FLAIR MR image.
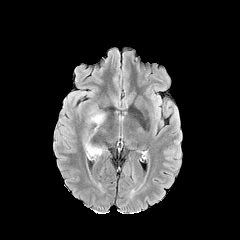
T1-weighted MR.
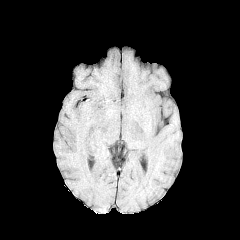
Post-contrast T1-weighted MRI.
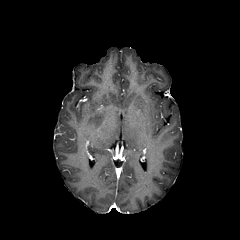
T2-weighted MR.
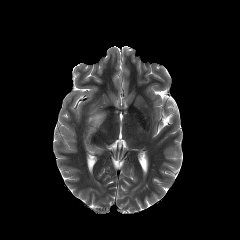
Brain, Image size 240x240, Axial plane
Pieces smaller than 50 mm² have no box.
peritumoral edema: box=[87, 106, 105, 131]; box=[84, 131, 104, 158]